FLAIR MR.
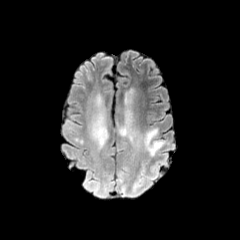
T1-weighted MR.
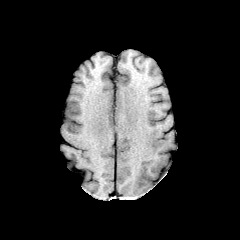
Post-contrast T1-weighted MR.
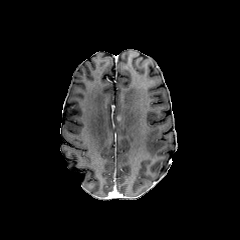
T2-weighted magnetic resonance.
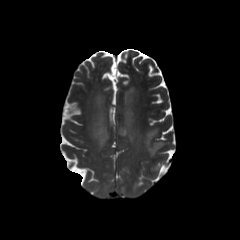
Brain; Axial view; 240x240
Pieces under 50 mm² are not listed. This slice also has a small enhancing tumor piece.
peritumoral edema: 144 128 161 154, 91 92 108 148, 119 92 135 141